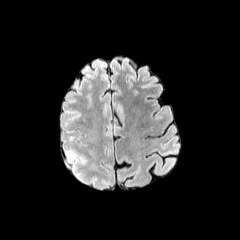
FLAIR MR.
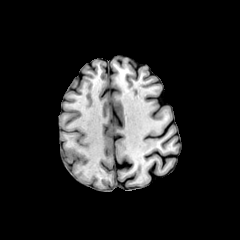
Same slice, T1-weighted MR image.
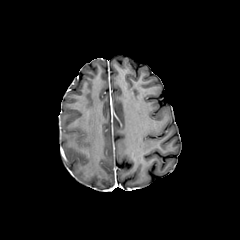
Post-contrast T1-weighted magnetic resonance.
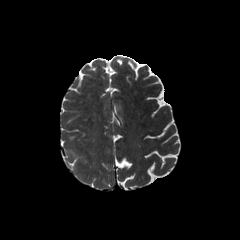
T2-weighted MR image.
Axial plane.
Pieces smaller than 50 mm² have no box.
peritumoral edema: 63 149 86 164